Slice index 69 | Axial view | Head
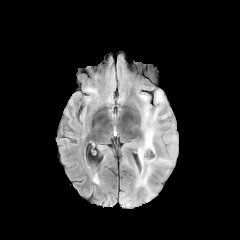
FLAIR MRI.
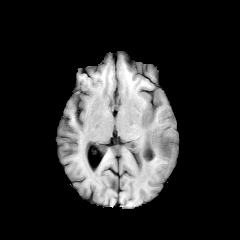
T1-weighted MR image.
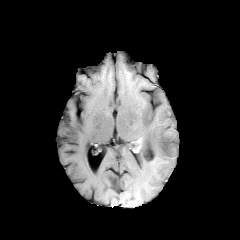
Post-contrast T1-weighted MR image of the same slice.
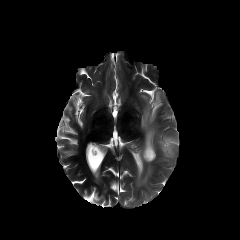
T2-weighted MR.
peritumoral edema: [x1=136, y1=106, x2=177, y2=186]